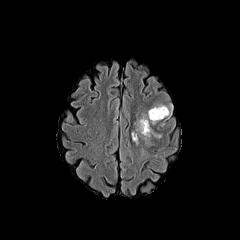
FLAIR MR image.
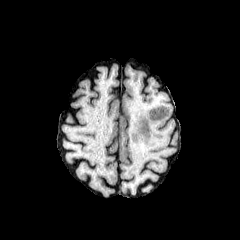
T1-weighted MR.
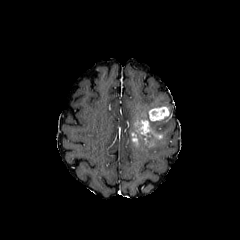
Post-contrast T1-weighted MR image.
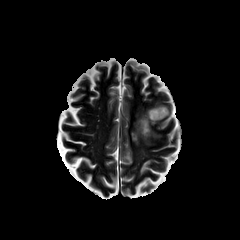
T2-weighted magnetic resonance.
Head | Image size 240x240
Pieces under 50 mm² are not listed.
The 5 largest peritumoral edema regions appear at <box>139,147,148,161</box>, <box>137,134,151,146</box>, <box>161,104,172,127</box>, <box>140,112,158,124</box>, <box>150,102,165,109</box>. 3 enhancing tumor regions appear at <box>148,106,169,121</box>, <box>134,118,161,141</box>, <box>131,132,137,144</box>.